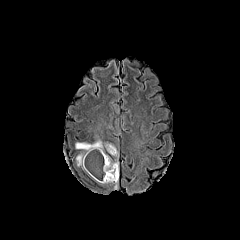
FLAIR magnetic resonance.
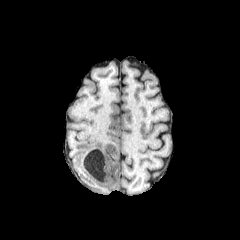
Same slice, T1-weighted MR image.
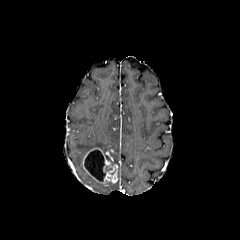
Post-contrast T1-weighted MR.
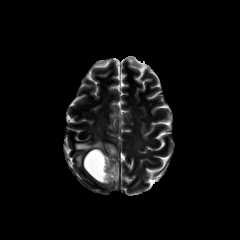
T2-weighted magnetic resonance.
Axial slice
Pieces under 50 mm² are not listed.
peritumoral edema: {"x1": 75, "y1": 141, "x2": 102, "y2": 151}, {"x1": 76, "y1": 154, "x2": 84, "y2": 166}, {"x1": 105, "y1": 144, "x2": 118, "y2": 155} | enhancing tumor: {"x1": 83, "y1": 148, "x2": 118, "y2": 184} | necrotic tumor core: {"x1": 84, "y1": 150, "x2": 105, "y2": 181}